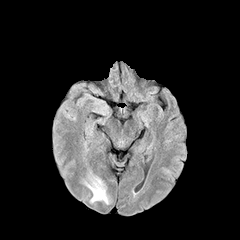
FLAIR MR.
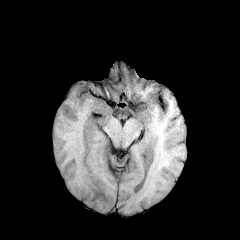
T1-weighted MR.
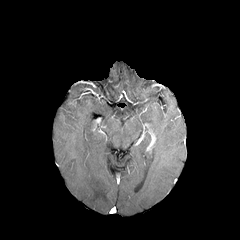
Post-contrast T1-weighted MRI.
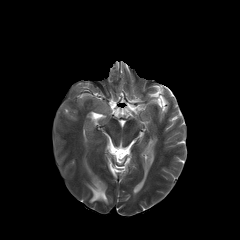
Same slice, T2-weighted MR image.
peritumoral_edema:
  - 85,176,108,203